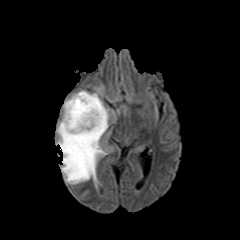
FLAIR magnetic resonance.
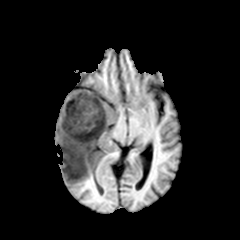
T1-weighted MRI of the same slice.
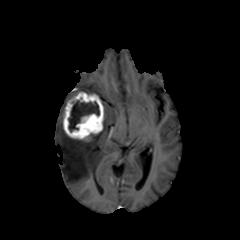
Post-contrast T1-weighted MR.
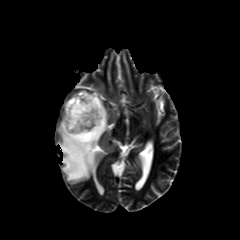
Same slice, T2-weighted magnetic resonance.
Head
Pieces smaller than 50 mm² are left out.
enhancing tumor: bounding box bbox=[63, 92, 104, 141]
necrotic tumor core: bounding box bbox=[68, 100, 99, 131]
peritumoral edema: bounding box bbox=[56, 106, 109, 184]